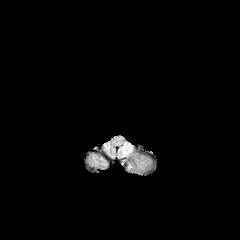
FLAIR MR image.
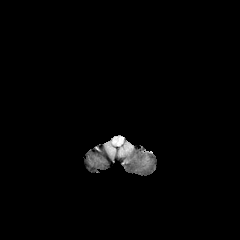
Same slice, T1-weighted MRI.
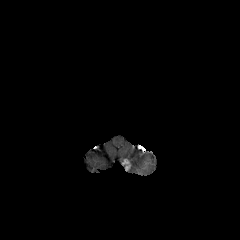
Post-contrast T1-weighted MR image of the same slice.
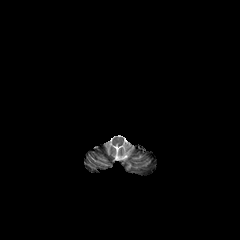
T2-weighted magnetic resonance of the same slice.
Axial plane; 240x240; Brain
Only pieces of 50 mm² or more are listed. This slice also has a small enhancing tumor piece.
Segmented structures:
- peritumoral edema: (118, 143, 132, 157), (134, 156, 150, 170)